Slice index 60 | Head | Axial slice
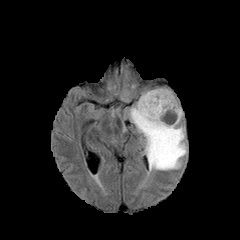
FLAIR MR image.
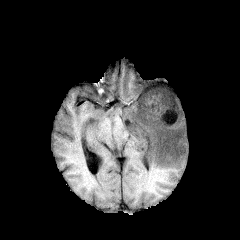
T1-weighted magnetic resonance of the same slice.
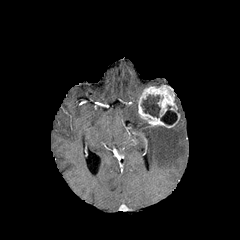
Post-contrast T1-weighted MR.
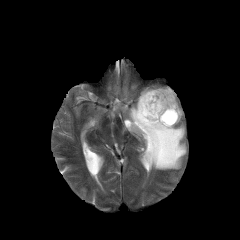
T2-weighted magnetic resonance.
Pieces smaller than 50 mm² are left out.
peritumoral edema: left=128, top=100, right=187, bottom=170 | enhancing tumor: left=138, top=85, right=180, bottom=127 | necrotic tumor core: left=141, top=95, right=160, bottom=117; left=160, top=105, right=177, bottom=124